Image width 240 mm, 1.00 mm slice spacing, Slice index 80
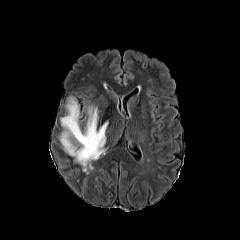
FLAIR MR image.
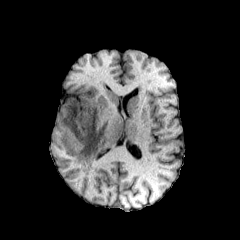
T1-weighted magnetic resonance of the same slice.
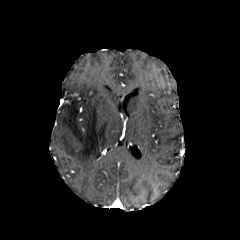
Same slice, post-contrast T1-weighted MR.
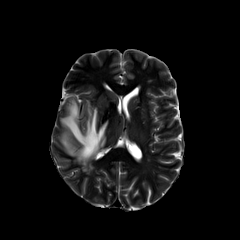
T2-weighted MR.
peritumoral_edema:
  - box=[59, 97, 108, 173]